240x240 px. Brain. Slice 107/155. Axial slice.
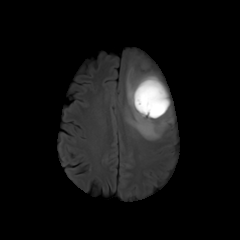
FLAIR magnetic resonance.
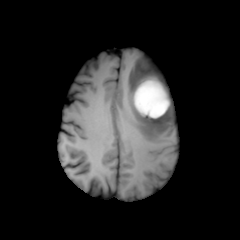
T1-weighted magnetic resonance.
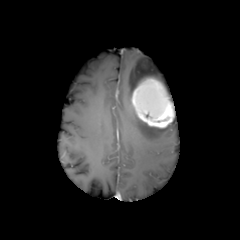
Same slice, post-contrast T1-weighted MR.
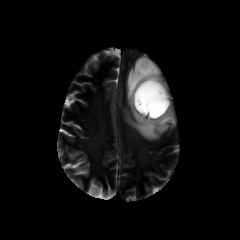
T2-weighted magnetic resonance of the same slice.
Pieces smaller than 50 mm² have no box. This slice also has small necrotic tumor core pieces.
The enhancing tumor is bounded by [131,78,174,128]. The largest peritumoral edema region is bounded by [125,58,169,140].